FLAIR MRI.
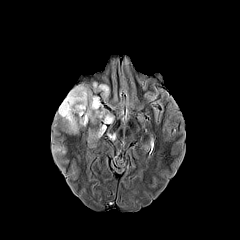
T1-weighted MR image.
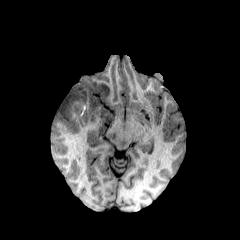
Post-contrast T1-weighted magnetic resonance.
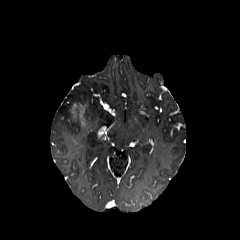
T2-weighted MR.
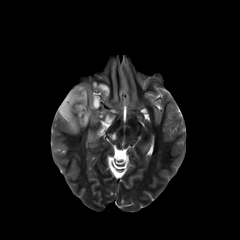
Axial plane; Head
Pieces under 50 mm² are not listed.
{
  "enhancing_tumor": [
    "region(70, 103, 86, 127)"
  ],
  "necrotic_tumor_core": [
    "region(83, 103, 91, 121)"
  ],
  "peritumoral_edema": [
    "region(93, 82, 109, 98)",
    "region(58, 84, 113, 133)"
  ]
}